FLAIR MR image.
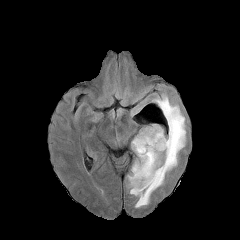
T1-weighted magnetic resonance.
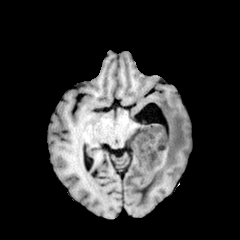
Post-contrast T1-weighted MRI.
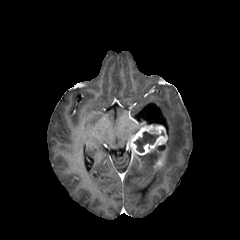
T2-weighted MR.
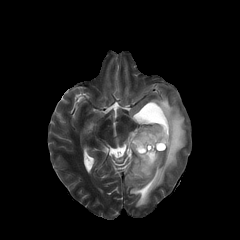
Head
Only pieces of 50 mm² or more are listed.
necrotic tumor core: [134,131,158,152]
peritumoral edema: [127,94,186,207]
enhancing tumor: [129,125,167,155], [154,153,163,167]